Slice 91 of 155; Brain; Axial plane
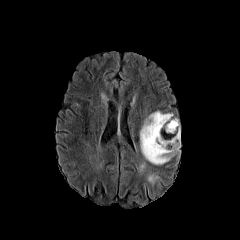
FLAIR MR image.
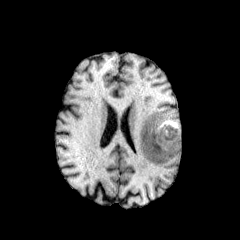
T1-weighted magnetic resonance of the same slice.
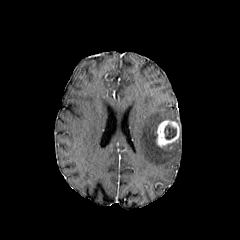
Post-contrast T1-weighted MR image of the same slice.
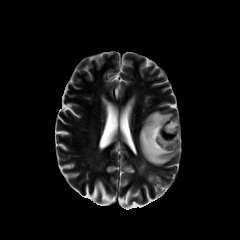
Same slice, T2-weighted magnetic resonance.
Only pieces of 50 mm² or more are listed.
peritumoral edema = [140, 111, 180, 164], [148, 174, 158, 183]
necrotic tumor core = [164, 124, 176, 139]
enhancing tumor = [156, 120, 180, 147]